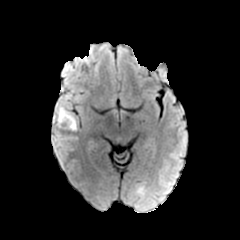
FLAIR magnetic resonance.
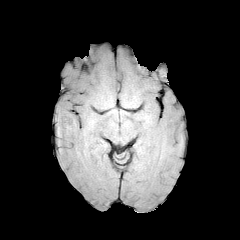
T1-weighted MR.
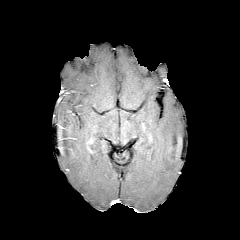
Post-contrast T1-weighted MR.
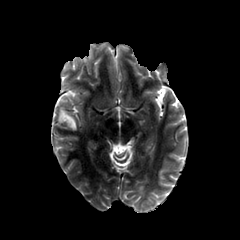
Same slice, T2-weighted MR.
Axial view
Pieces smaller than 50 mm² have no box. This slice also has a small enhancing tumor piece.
peritumoral edema: (left=56, top=106, right=77, bottom=130)